240x240 px | Head | Axial slice
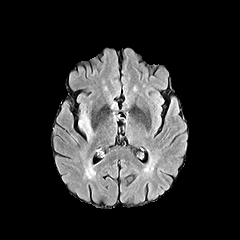
FLAIR MRI.
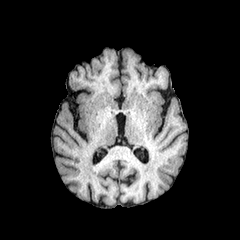
T1-weighted MRI.
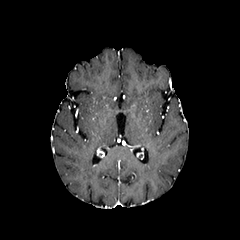
Post-contrast T1-weighted MRI.
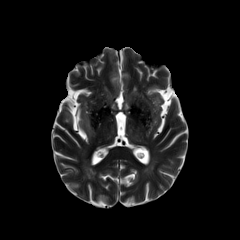
Same slice, T2-weighted MR.
Segmented structures:
• peritumoral edema: {"x1": 79, "y1": 114, "x2": 91, "y2": 136}